FLAIR magnetic resonance.
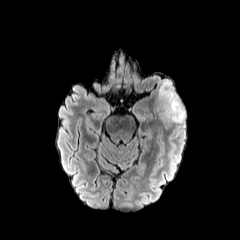
T1-weighted MR image.
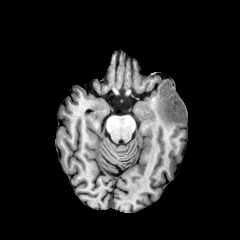
Post-contrast T1-weighted MR.
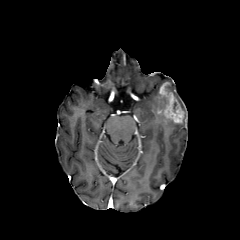
T2-weighted MRI.
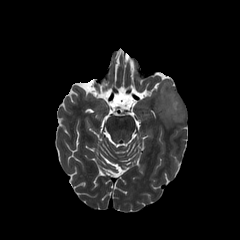
Axial slice
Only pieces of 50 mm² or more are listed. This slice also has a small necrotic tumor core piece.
Annotated regions:
- peritumoral edema: <bbox>174, 92, 185, 125</bbox>, <bbox>155, 90, 173, 125</bbox>
- enhancing tumor: <bbox>159, 82, 184, 123</bbox>